Axial slice, Image width 240 mm, 1.00 mm slice spacing, Head
FLAIR MR.
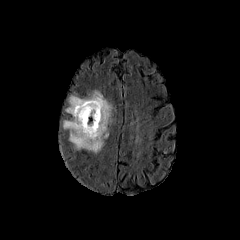
T1-weighted MR image.
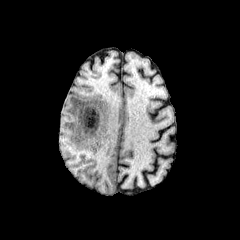
Post-contrast T1-weighted MRI.
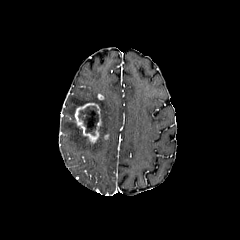
T2-weighted magnetic resonance.
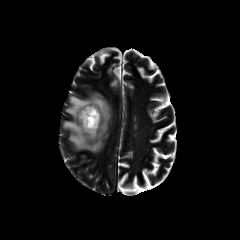
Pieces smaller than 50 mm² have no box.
{"necrotic_tumor_core": ["<bbox>77, 106, 98, 135</bbox>"], "peritumoral_edema": ["<bbox>63, 91, 112, 153</bbox>"], "enhancing_tumor": ["<bbox>74, 103, 101, 143</bbox>"]}